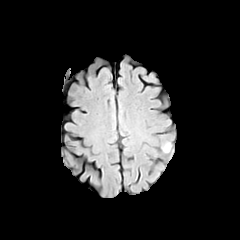
FLAIR MRI.
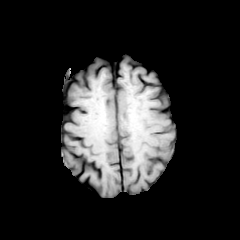
T1-weighted MRI.
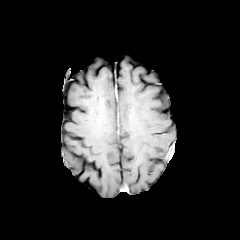
Post-contrast T1-weighted MR image.
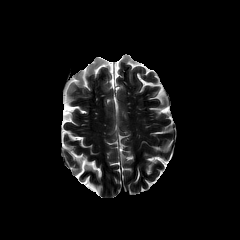
T2-weighted MR of the same slice.
Head
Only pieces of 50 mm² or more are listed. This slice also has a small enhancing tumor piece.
peritumoral edema at box(162, 142, 171, 152)